FLAIR MR.
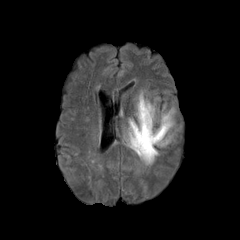
T1-weighted MR.
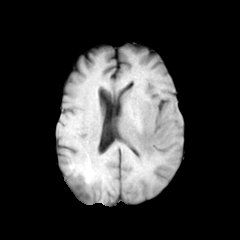
Post-contrast T1-weighted magnetic resonance.
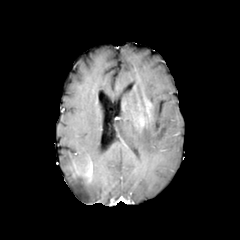
T2-weighted magnetic resonance.
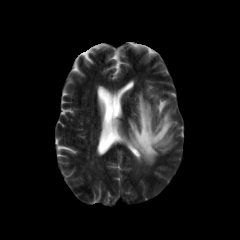
Axial plane, 240x240 px
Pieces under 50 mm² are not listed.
peritumoral edema at (x1=123, y1=90, x2=175, y2=165)
enhancing tumor at (x1=139, y1=101, x2=151, y2=127)